Slice 42/155.
FLAIR magnetic resonance.
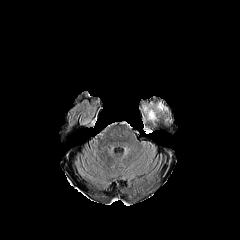
T1-weighted MR image.
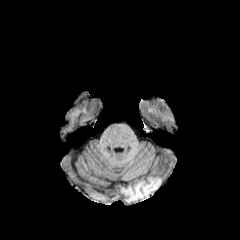
Post-contrast T1-weighted MRI.
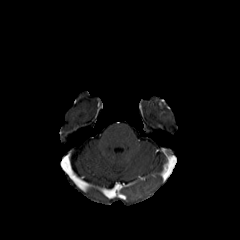
T2-weighted MR image.
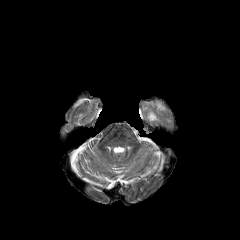
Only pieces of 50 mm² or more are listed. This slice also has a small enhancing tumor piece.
The 2 largest peritumoral edema regions appear at {"x1": 157, "y1": 104, "x2": 167, "y2": 112}, {"x1": 143, "y1": 105, "x2": 156, "y2": 121}.